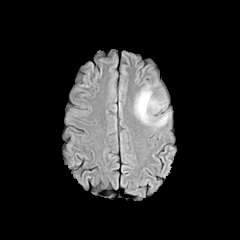
FLAIR MRI.
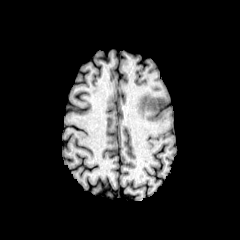
Same slice, T1-weighted MRI.
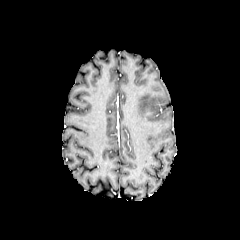
Post-contrast T1-weighted MR image.
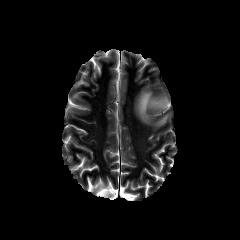
Same slice, T2-weighted magnetic resonance.
Head, Axial plane
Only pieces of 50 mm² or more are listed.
peritumoral edema: bounding box bbox=[154, 114, 169, 126]; bbox=[135, 88, 166, 123]